Axial plane, Slice index 106, Head
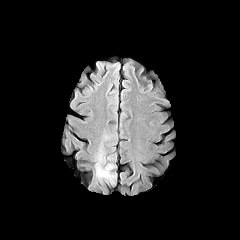
FLAIR MR image.
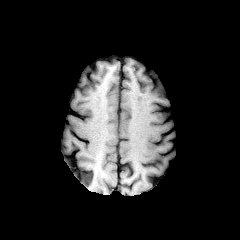
T1-weighted MR image.
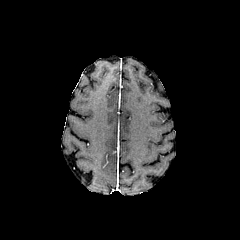
Post-contrast T1-weighted MR of the same slice.
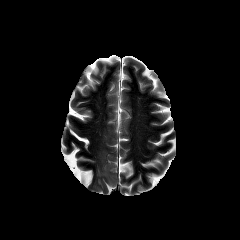
Same slice, T2-weighted MRI.
The peritumoral edema is located at bbox=[97, 166, 110, 177].